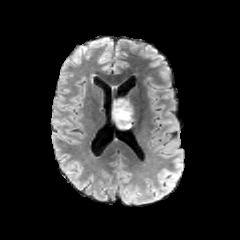
FLAIR magnetic resonance.
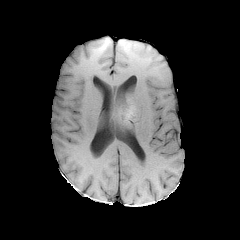
T1-weighted MR of the same slice.
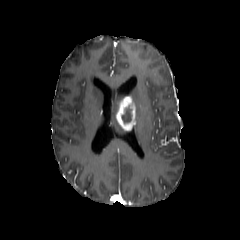
Post-contrast T1-weighted magnetic resonance of the same slice.
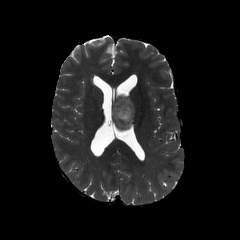
T2-weighted MR image.
Head | Axial slice
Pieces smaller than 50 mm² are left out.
The largest peritumoral edema region lies within bbox(113, 98, 122, 119). The enhancing tumor is bounded by bbox(116, 96, 136, 130). The necrotic tumor core lies within bbox(122, 106, 131, 122).